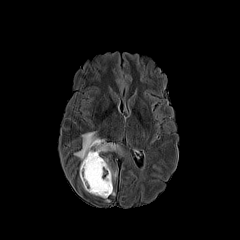
FLAIR MRI.
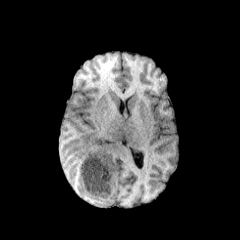
Same slice, T1-weighted MR image.
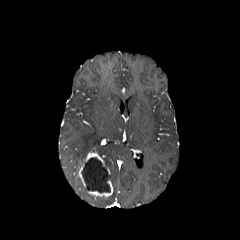
Same slice, post-contrast T1-weighted MR image.
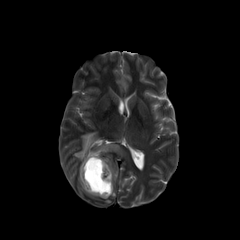
T2-weighted MR of the same slice.
240x240 px | Axial slice
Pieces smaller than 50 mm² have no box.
The 2 largest peritumoral edema regions are located at 74:132:120:162, 104:160:116:180. The necrotic tumor core is at 81:157:110:192. 2 enhancing tumor regions appear at 79:152:110:188, 87:179:112:197.